FLAIR MR image.
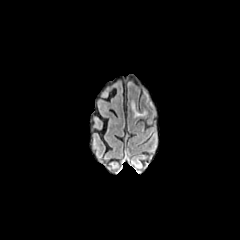
T1-weighted MR.
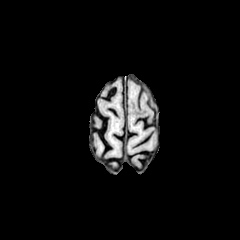
Post-contrast T1-weighted MRI.
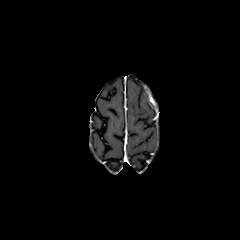
T2-weighted MRI.
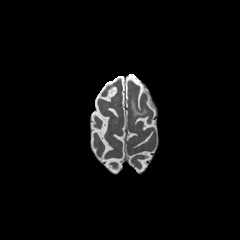
Axial slice, Head, 240x240 px
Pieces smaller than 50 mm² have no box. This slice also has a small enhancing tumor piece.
The largest peritumoral edema region is bounded by 131, 99, 146, 116.